FLAIR MR image.
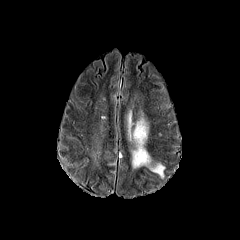
T1-weighted MR.
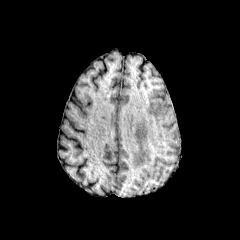
Post-contrast T1-weighted MR image.
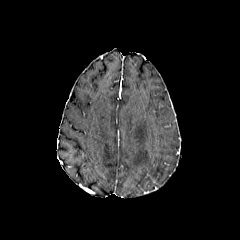
T2-weighted magnetic resonance.
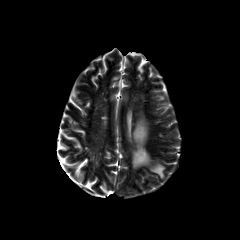
240x240 px | Brain
Annotated regions:
* peritumoral edema: 127 112 131 137, 151 164 164 177, 132 118 150 167